Axial slice; Slice 56 of 155
FLAIR MRI.
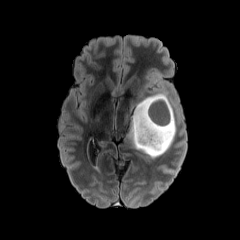
T1-weighted MR.
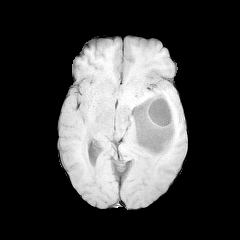
Post-contrast T1-weighted magnetic resonance.
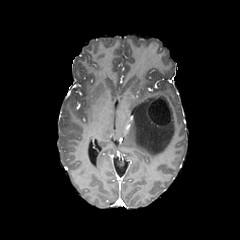
T2-weighted magnetic resonance.
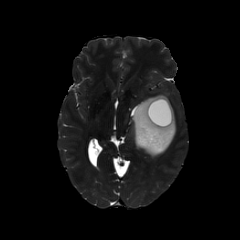
<segmentation>
  <peritumoral_edema>(left=129, top=95, right=176, bottom=157)</peritumoral_edema>
  <enhancing_tumor>(left=147, top=98, right=172, bottom=127)</enhancing_tumor>
  <necrotic_tumor_core>(left=149, top=100, right=170, bottom=125)</necrotic_tumor_core>
</segmentation>